Axial plane | Brain | Image width 240 mm | 240x240
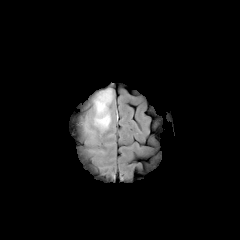
FLAIR magnetic resonance.
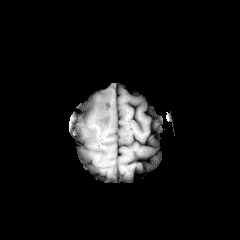
Same slice, T1-weighted MRI.
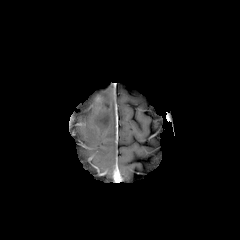
Same slice, post-contrast T1-weighted MR.
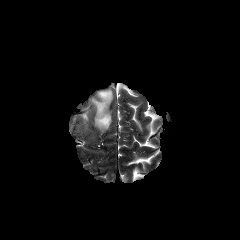
T2-weighted MR image of the same slice.
enhancing_tumor:
  - (x1=96, y1=96, x2=101, y2=108)
peritumoral_edema:
  - (x1=72, y1=87, x2=115, y2=131)